Image width 240 mm, 1.00 mm slice spacing
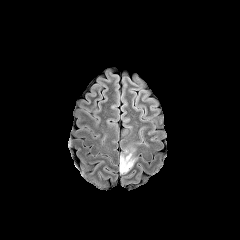
FLAIR MRI.
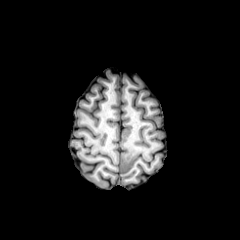
T1-weighted MR image of the same slice.
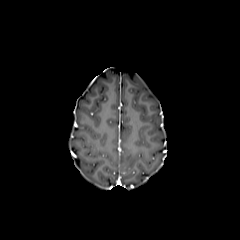
Same slice, post-contrast T1-weighted MR image.
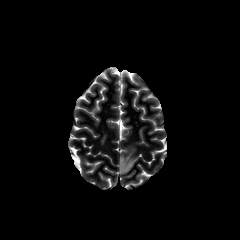
T2-weighted MR.
{
  "peritumoral_edema": [
    "[120,145,137,174]"
  ]
}